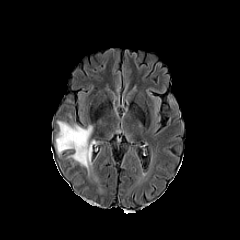
FLAIR MR.
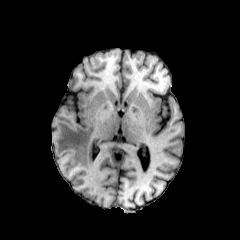
T1-weighted magnetic resonance.
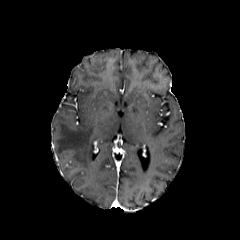
Post-contrast T1-weighted MR image.
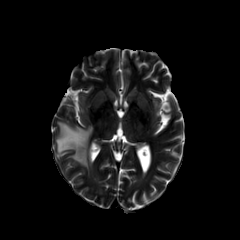
Same slice, T2-weighted MRI.
Brain | Axial plane | 240x240 px
{
  "peritumoral_edema": [
    {"x1": 56, "y1": 121, "x2": 93, "y2": 174}
  ]
}